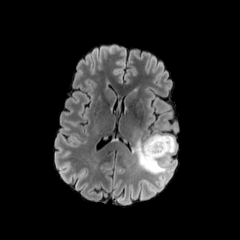
FLAIR MR.
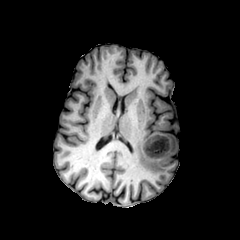
T1-weighted MRI.
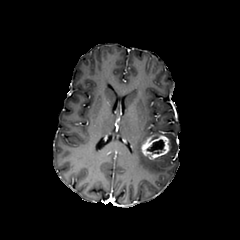
Post-contrast T1-weighted MR image.
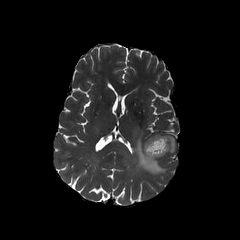
T2-weighted MRI.
Head, Axial slice
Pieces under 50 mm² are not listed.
<segmentation>
  <peritumoral_edema>left=133, top=134, right=176, bottom=174</peritumoral_edema>
  <necrotic_tumor_core>left=146, top=139, right=164, bottom=151</necrotic_tumor_core>
  <enhancing_tumor>left=141, top=135, right=169, bottom=159</enhancing_tumor>
</segmentation>